Brain. Axial slice.
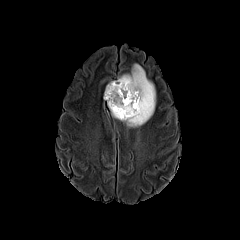
FLAIR MRI.
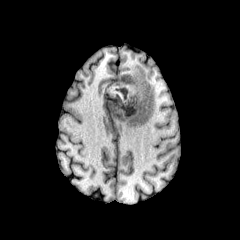
Same slice, T1-weighted MR image.
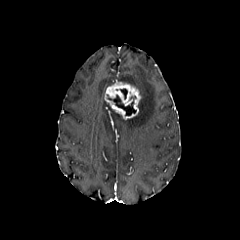
Same slice, post-contrast T1-weighted MR.
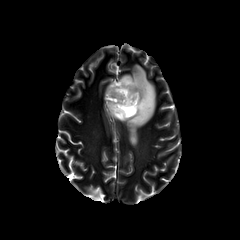
T2-weighted MR image.
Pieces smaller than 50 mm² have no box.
enhancing tumor: <box>104,80,141,119</box> | peritumoral edema: <box>112,63,155,127</box> | necrotic tumor core: <box>107,95,135,115</box>, <box>120,89,127,99</box>